FLAIR magnetic resonance.
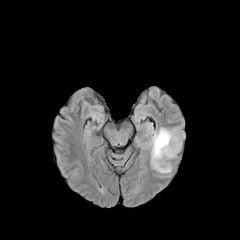
T1-weighted MRI.
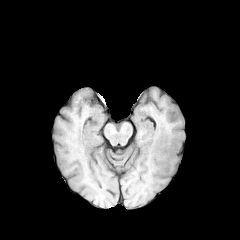
Post-contrast T1-weighted MR.
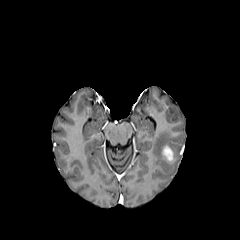
T2-weighted MR image.
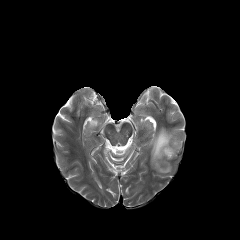
Axial slice
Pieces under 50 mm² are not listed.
{"peritumoral_edema": ["<bbox>150, 128, 180, 172</bbox>"], "enhancing_tumor": ["<bbox>162, 145, 173, 160</bbox>"]}